Slice 135/155
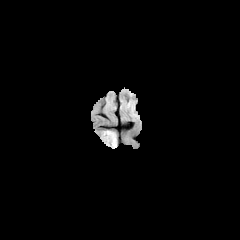
FLAIR MRI.
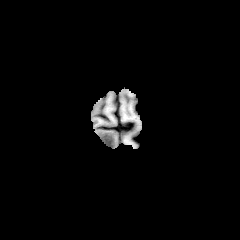
T1-weighted MR of the same slice.
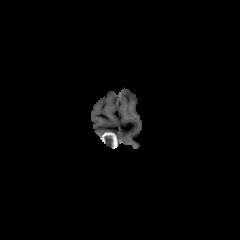
Post-contrast T1-weighted MR.
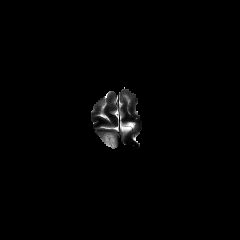
T2-weighted MR image.
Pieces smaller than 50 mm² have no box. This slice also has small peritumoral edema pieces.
enhancing_tumor:
  - (101,132,116,148)
necrotic_tumor_core:
  - (105,136,112,146)